Axial slice | Brain
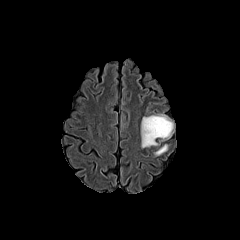
FLAIR MRI.
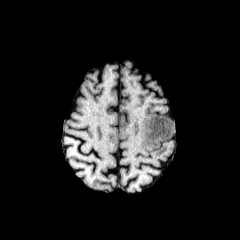
T1-weighted magnetic resonance.
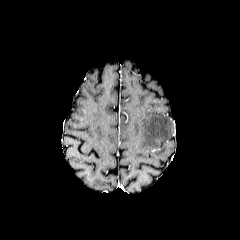
Post-contrast T1-weighted magnetic resonance.
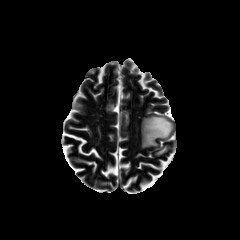
T2-weighted magnetic resonance.
peritumoral edema: bounding box 155:145:167:155, 141:114:173:147